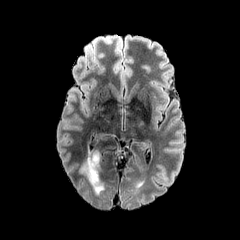
FLAIR MR image.
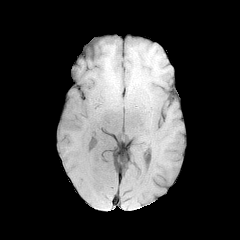
Same slice, T1-weighted MR.
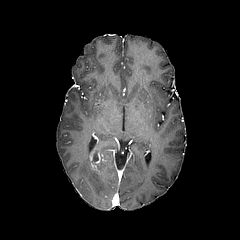
Same slice, post-contrast T1-weighted MRI.
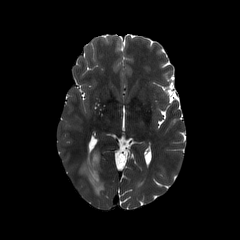
T2-weighted magnetic resonance.
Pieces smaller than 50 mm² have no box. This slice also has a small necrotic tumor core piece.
The peritumoral edema is at [x1=80, y1=148, x2=104, y2=194]. The enhancing tumor appears at [x1=89, y1=151, x2=101, y2=170].